FLAIR magnetic resonance.
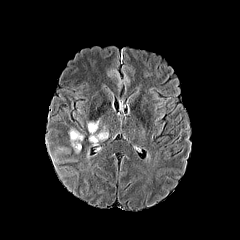
T1-weighted MR image.
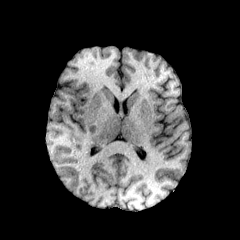
Post-contrast T1-weighted MR.
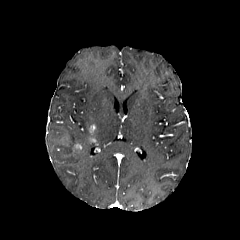
T2-weighted magnetic resonance.
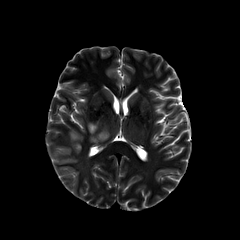
Axial slice
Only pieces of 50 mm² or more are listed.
The 3 largest peritumoral edema regions are bounded by (89,128,108,142), (87,120,99,131), (70,130,83,146). The largest enhancing tumor region is bounded by (89,124,96,135).